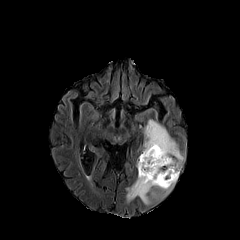
FLAIR magnetic resonance.
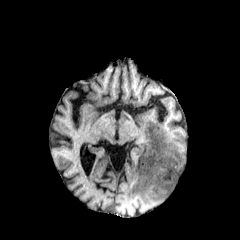
T1-weighted MR.
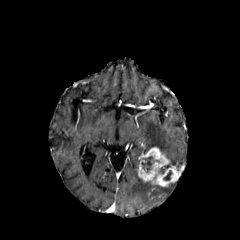
Post-contrast T1-weighted MR image of the same slice.
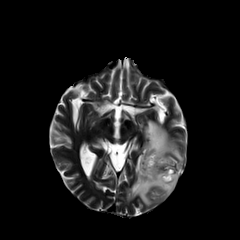
T2-weighted magnetic resonance.
Head. 240x240. Axial slice.
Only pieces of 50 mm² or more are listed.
peritumoral edema: box=[143, 119, 184, 171]; box=[126, 176, 175, 204]
necrotic tumor core: box=[141, 156, 153, 172]; box=[163, 170, 171, 180]
enhancing tumor: box=[138, 147, 180, 187]